Axial plane | Slice 47/155 | Image size 240x240 | Brain
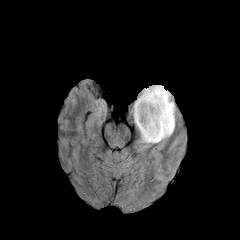
FLAIR MR.
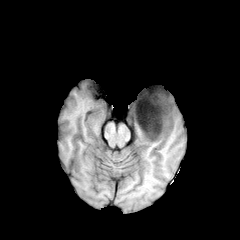
Same slice, T1-weighted magnetic resonance.
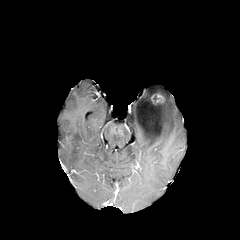
Post-contrast T1-weighted MR image.
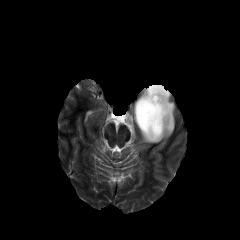
T2-weighted MR.
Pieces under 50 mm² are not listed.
<segmentation>
  <necrotic_tumor_core>136, 88, 169, 136</necrotic_tumor_core>
  <peritumoral_edema>132, 88, 175, 143</peritumoral_edema>
  <enhancing_tumor>151, 94, 163, 104; 135, 86, 169, 139</enhancing_tumor>
</segmentation>